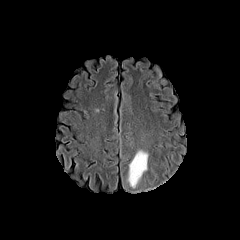
FLAIR MR.
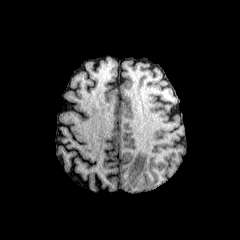
T1-weighted MR image.
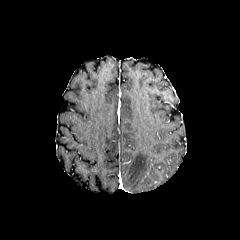
Same slice, post-contrast T1-weighted MRI.
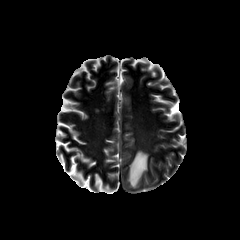
T2-weighted MR image.
Head
peritumoral edema = {"x1": 126, "y1": 150, "x2": 148, "y2": 188}